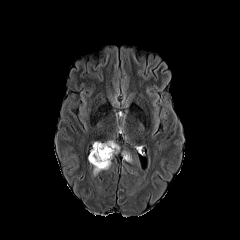
FLAIR MR.
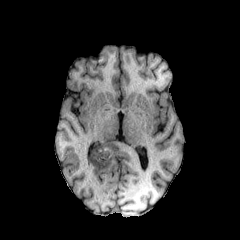
Same slice, T1-weighted MR image.
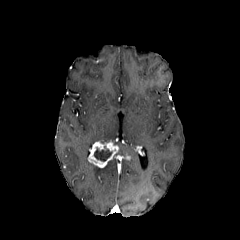
Post-contrast T1-weighted MR image.
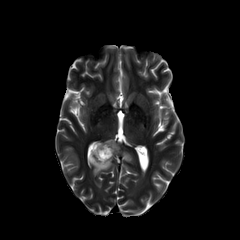
T2-weighted magnetic resonance.
Head | Axial plane
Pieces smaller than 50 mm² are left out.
enhancing tumor = bbox(88, 141, 118, 167)
necrotic tumor core = bbox(94, 147, 112, 161)
peritumoral edema = bbox(93, 161, 111, 175)